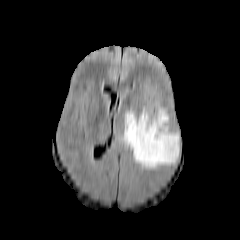
FLAIR MR.
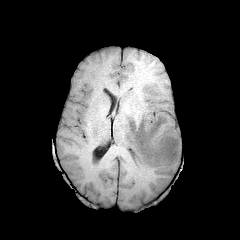
T1-weighted MR image.
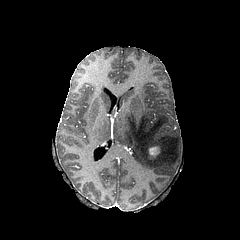
Post-contrast T1-weighted MR image.
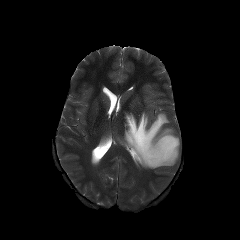
T2-weighted MR image.
{
  "enhancing_tumor": [
    "region(148, 146, 159, 157)"
  ],
  "peritumoral_edema": [
    "region(120, 108, 179, 169)"
  ]
}